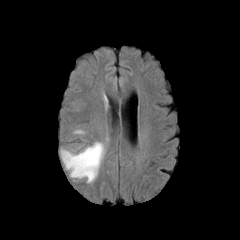
FLAIR magnetic resonance.
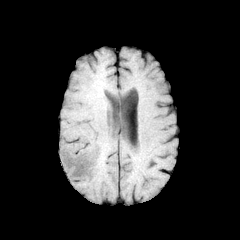
Same slice, T1-weighted magnetic resonance.
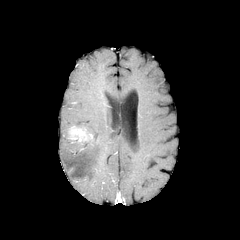
Post-contrast T1-weighted MR image of the same slice.
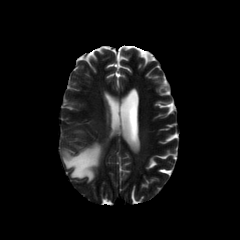
T2-weighted MRI.
Axial slice. Head.
<segmentation>
  <enhancing_tumor>{"x1": 72, "y1": 129, "x2": 84, "y2": 139}</enhancing_tumor>
  <peritumoral_edema>{"x1": 61, "y1": 142, "x2": 104, "y2": 182}</peritumoral_edema>
</segmentation>